Axial view; Head; Slice 95/155
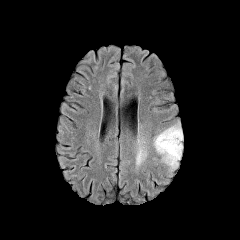
FLAIR MR.
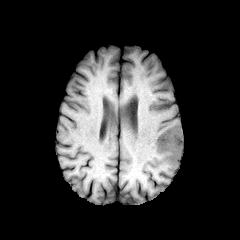
T1-weighted MRI.
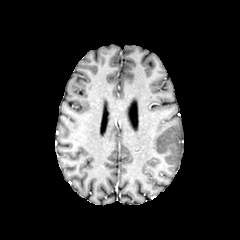
Post-contrast T1-weighted MR image.
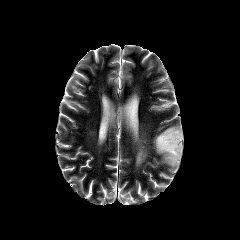
Same slice, T2-weighted MRI.
peritumoral edema: [x1=135, y1=147, x2=146, y2=174], [x1=152, y1=124, x2=183, y2=169]